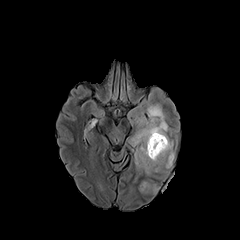
FLAIR MR image.
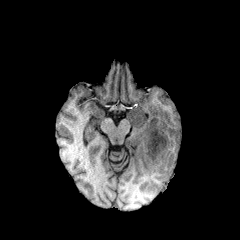
T1-weighted MR.
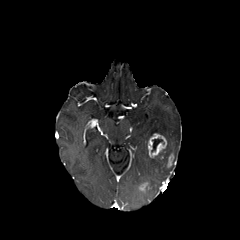
Same slice, post-contrast T1-weighted magnetic resonance.
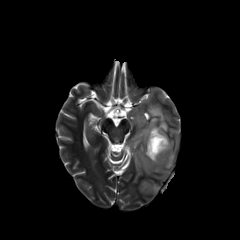
T2-weighted MR image of the same slice.
Axial view. 240x240.
3 enhancing tumor regions appear at region(147, 133, 167, 158); region(167, 153, 173, 167); region(139, 182, 149, 192). The peritumoral edema is at region(130, 88, 175, 195). The necrotic tumor core is at region(151, 138, 163, 151).